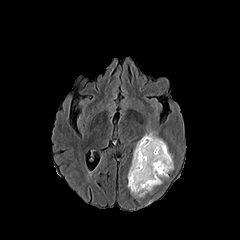
FLAIR MR.
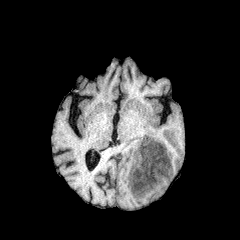
T1-weighted MR.
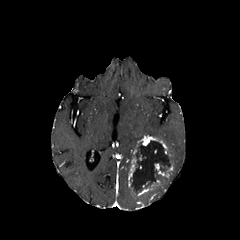
Same slice, post-contrast T1-weighted MR image.
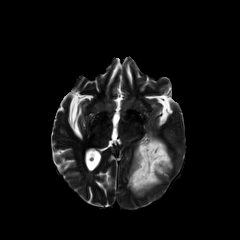
T2-weighted MR image.
Axial plane
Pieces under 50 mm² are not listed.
The 4 largest enhancing tumor regions appear at box=[133, 179, 161, 196]; box=[154, 163, 173, 177]; box=[128, 157, 136, 192]; box=[136, 135, 170, 155]. The largest peritumoral edema region is bounded by box=[144, 130, 161, 139]. The necrotic tumor core is at box=[131, 141, 171, 193].